Slice 100/155 | Head
FLAIR MRI.
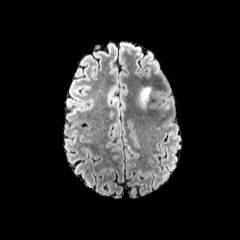
T1-weighted MRI.
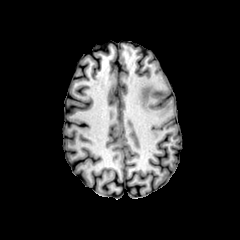
Post-contrast T1-weighted magnetic resonance.
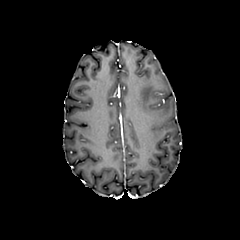
T2-weighted magnetic resonance.
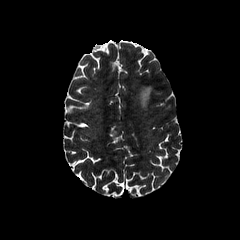
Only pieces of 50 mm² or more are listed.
The largest peritumoral edema region is bounded by <bbox>139, 87, 150, 107</bbox>.